240x240 px | Image width 240 mm | Axial view
FLAIR MR.
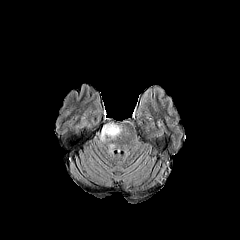
T1-weighted magnetic resonance.
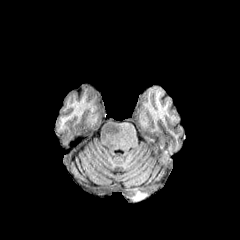
Post-contrast T1-weighted MR image.
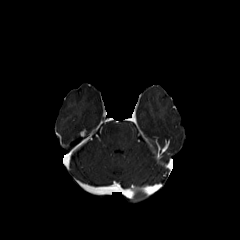
T2-weighted MR image.
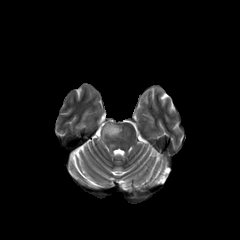
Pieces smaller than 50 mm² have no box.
The largest peritumoral edema region is bounded by x1=101, y1=123, x2=121, y2=139.